Image covers 240 mm x 240 mm. 240x240. Axial plane.
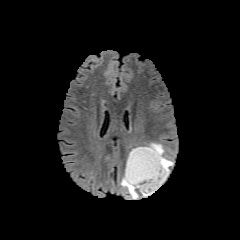
FLAIR MRI.
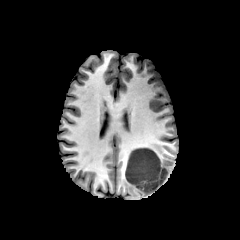
Same slice, T1-weighted MRI.
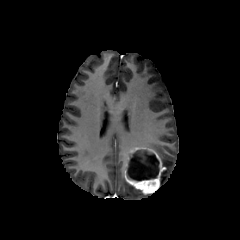
Post-contrast T1-weighted MR.
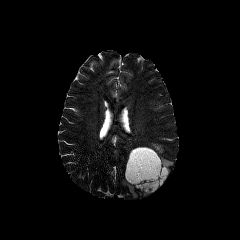
Same slice, T2-weighted magnetic resonance.
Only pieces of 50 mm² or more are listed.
The 2 largest peritumoral edema regions are located at x1=120 y1=177 x2=138 y2=198, x1=140 y1=143 x2=173 y2=185. The necrotic tumor core is at x1=127 y1=150 x2=159 y2=180. The enhancing tumor lies within x1=124 y1=147 x2=166 y2=194.